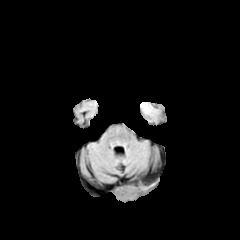
FLAIR MR.
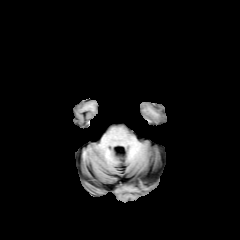
Same slice, T1-weighted MR image.
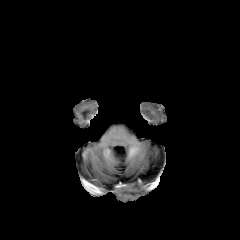
Post-contrast T1-weighted MRI.
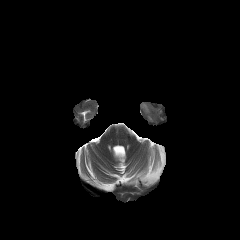
T2-weighted MR.
Axial view, Image size 240x240
peritumoral edema: l=140, t=102, r=152, b=114